Axial slice. Brain.
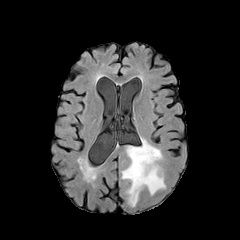
FLAIR MR.
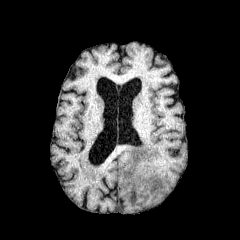
T1-weighted MR image.
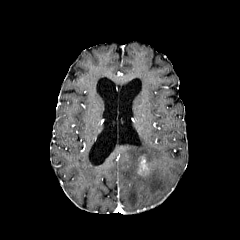
Post-contrast T1-weighted MR of the same slice.
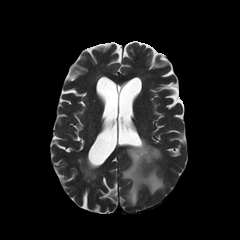
T2-weighted MR of the same slice.
peritumoral_edema:
  - region(122, 138, 165, 206)
enhancing_tumor:
  - region(138, 157, 148, 174)